Image size 240x240, Slice 109/155, Image covers 240 mm x 240 mm
FLAIR MR.
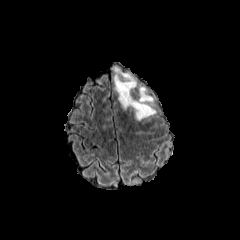
T1-weighted MR image.
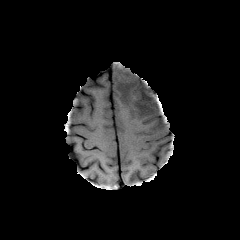
Post-contrast T1-weighted magnetic resonance.
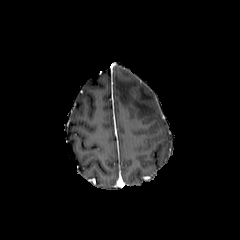
T2-weighted MRI.
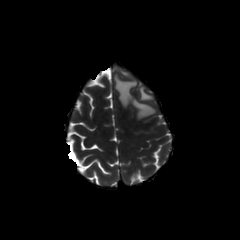
Annotated regions:
- peritumoral edema: {"x1": 114, "y1": 67, "x2": 156, "y2": 120}